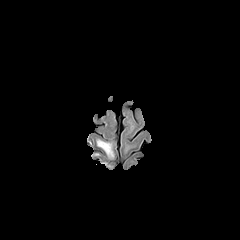
FLAIR magnetic resonance.
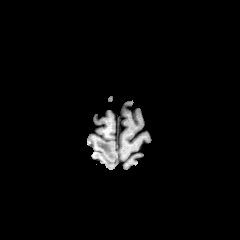
T1-weighted MRI.
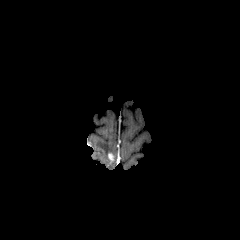
Post-contrast T1-weighted magnetic resonance.
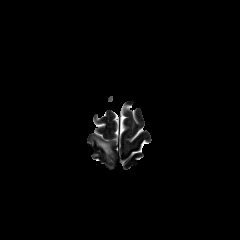
Same slice, T2-weighted MRI.
240x240; Head
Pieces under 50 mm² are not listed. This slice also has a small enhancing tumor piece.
peritumoral edema: box(96, 139, 114, 157)